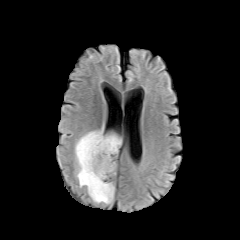
FLAIR MRI.
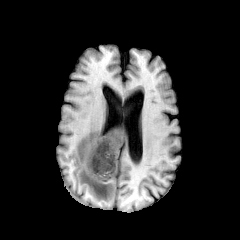
T1-weighted MR of the same slice.
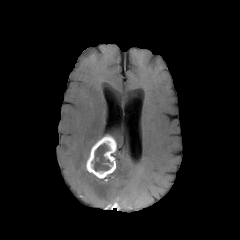
Same slice, post-contrast T1-weighted MR image.
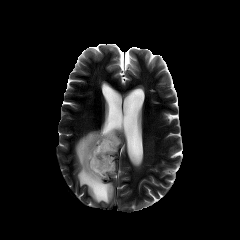
T2-weighted MR.
240x240; Axial plane; Brain
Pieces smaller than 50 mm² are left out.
The 2 largest peritumoral edema regions are bounded by 107,132,121,158; 74,124,115,204. The enhancing tumor is bounded by 86,134,116,178. The necrotic tumor core appears at 91,140,112,173.